FLAIR MRI.
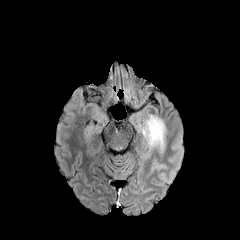
T1-weighted MRI.
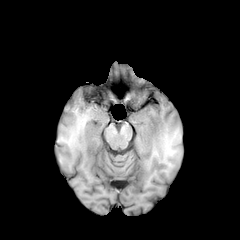
Post-contrast T1-weighted MRI.
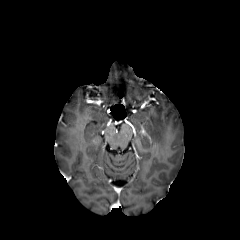
T2-weighted MR.
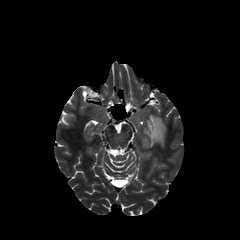
The peritumoral edema is bounded by (144, 115, 165, 147).